Slice index 54; Head; Axial plane
FLAIR MR.
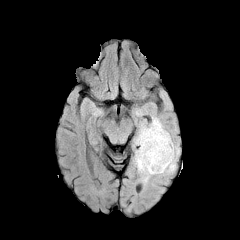
T1-weighted magnetic resonance.
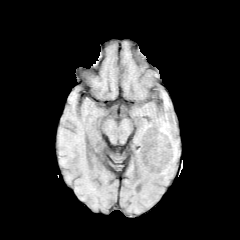
Post-contrast T1-weighted MR image.
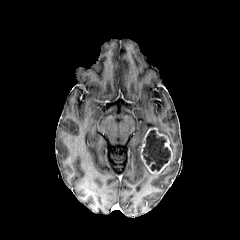
T2-weighted magnetic resonance.
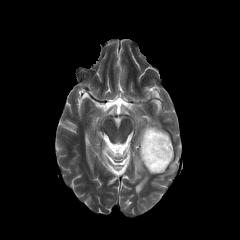
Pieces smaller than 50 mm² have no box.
{"peritumoral_edema": ["region(134, 116, 178, 181)"], "enhancing_tumor": ["region(141, 127, 173, 173)"], "necrotic_tumor_core": ["region(142, 130, 170, 170)"]}